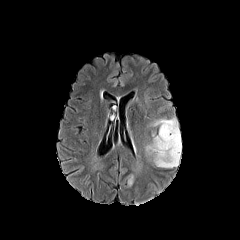
FLAIR MR image.
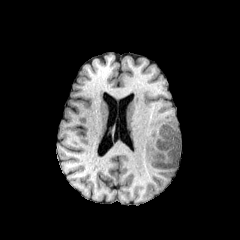
T1-weighted MR image.
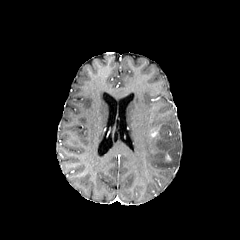
Same slice, post-contrast T1-weighted MR.
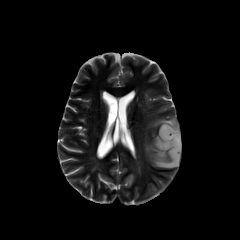
T2-weighted MR image.
Image size 240x240; Brain
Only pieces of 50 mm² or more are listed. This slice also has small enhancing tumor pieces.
The 2 largest peritumoral edema regions appear at <box>126,178,133,187</box>, <box>145,116,181,168</box>.